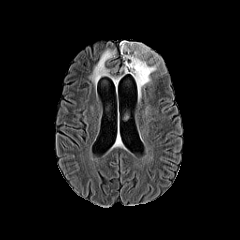
FLAIR MR image.
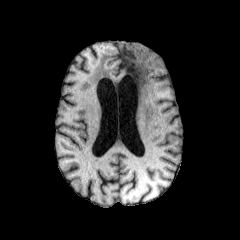
Same slice, T1-weighted magnetic resonance.
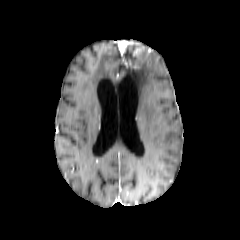
Post-contrast T1-weighted MRI.
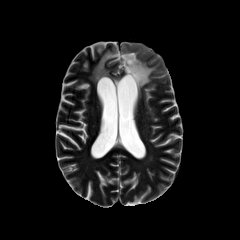
T2-weighted MRI of the same slice.
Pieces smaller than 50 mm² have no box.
enhancing tumor = region(119, 41, 151, 69)
peritumoral edema = region(121, 52, 159, 98); region(90, 50, 115, 84)
necrotic tumor core = region(123, 45, 137, 64)